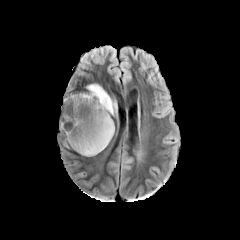
FLAIR MRI.
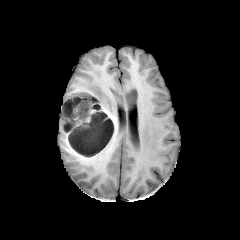
T1-weighted magnetic resonance.
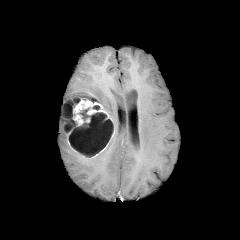
Post-contrast T1-weighted MR image.
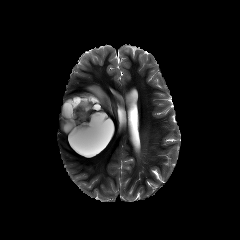
T2-weighted MRI.
240x240 px; Axial slice
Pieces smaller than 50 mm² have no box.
<segmentation>
  <necrotic_tumor_core>79 108 89 120, 63 121 76 132, 64 101 74 117, 69 112 113 156</necrotic_tumor_core>
  <enhancing_tumor>61 95 113 146</enhancing_tumor>
  <peritumoral_edema>70 84 116 115</peritumoral_edema>
</segmentation>